Slice 70 of 155
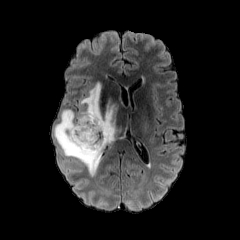
FLAIR MRI.
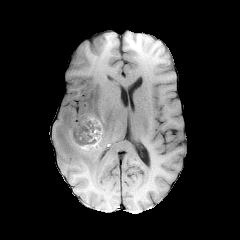
T1-weighted magnetic resonance.
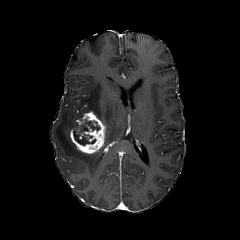
Post-contrast T1-weighted MR.
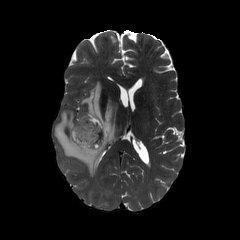
T2-weighted MR image.
necrotic tumor core at box=[73, 120, 100, 145]
enhancing tumor at box=[70, 112, 107, 154]
peritumoral edema at box=[54, 81, 121, 175]